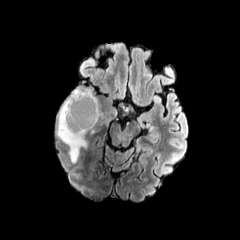
FLAIR MR.
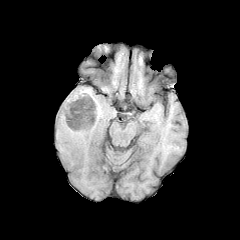
T1-weighted magnetic resonance.
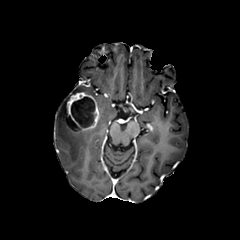
Post-contrast T1-weighted MR image.
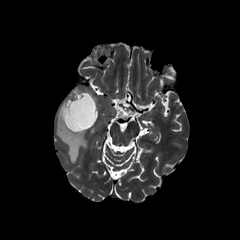
T2-weighted magnetic resonance.
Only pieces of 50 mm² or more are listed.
The largest peritumoral edema region is at 57 87 99 162. 2 necrotic tumor core regions appear at 67 115 80 131, 71 97 95 127. The enhancing tumor is located at 65 92 99 132.